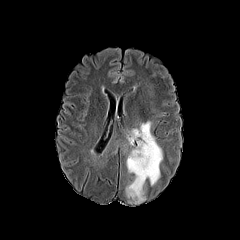
FLAIR MR.
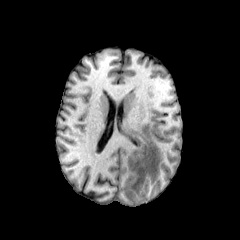
T1-weighted MR of the same slice.
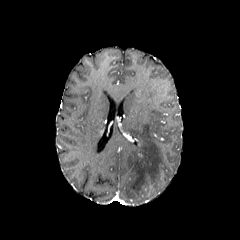
Post-contrast T1-weighted MR.
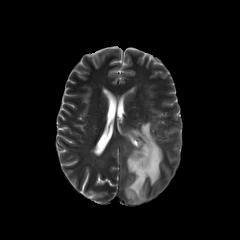
T2-weighted MRI of the same slice.
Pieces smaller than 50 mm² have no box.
{
  "peritumoral_edema": [
    "(125, 121, 163, 203)",
    "(111, 139, 125, 154)"
  ]
}